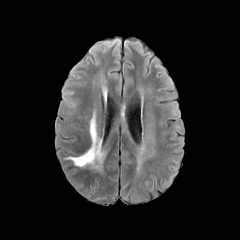
FLAIR MR image.
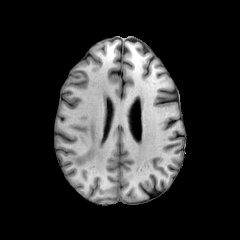
T1-weighted MR image.
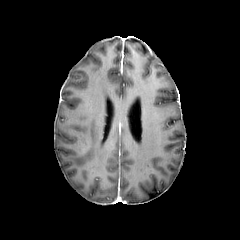
Post-contrast T1-weighted MR image of the same slice.
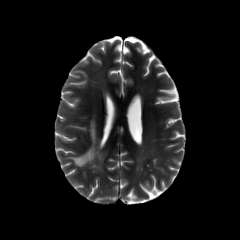
Same slice, T2-weighted MR image.
Axial view | 240x240 px
peritumoral edema: bounding box box(68, 116, 104, 168)